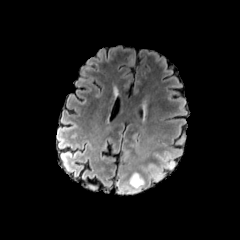
FLAIR MR image.
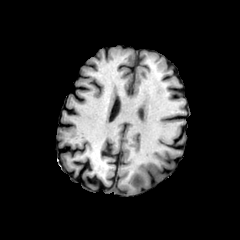
T1-weighted MR.
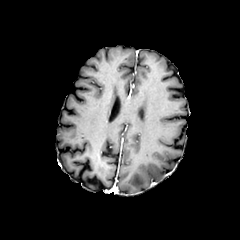
Post-contrast T1-weighted magnetic resonance of the same slice.
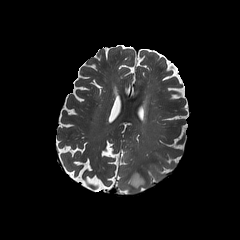
Same slice, T2-weighted magnetic resonance.
Axial plane; 240x240
{
  "peritumoral_edema": [
    "129,172,144,192"
  ]
}